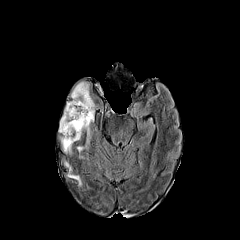
FLAIR MR.
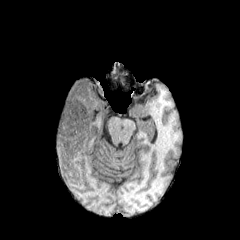
T1-weighted magnetic resonance.
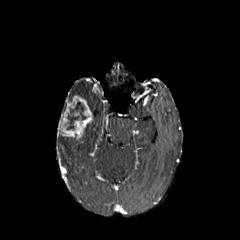
Post-contrast T1-weighted MR image.
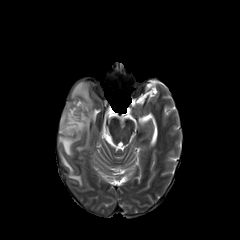
Same slice, T2-weighted magnetic resonance.
Axial view
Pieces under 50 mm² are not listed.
Segmented structures:
* enhancing tumor: 59,95,92,140
* peritumoral edema: 69,175,81,185; 59,136,76,154; 85,123,89,144; 71,82,94,121
* necrotic tumor core: 67,101,86,129